FLAIR MR.
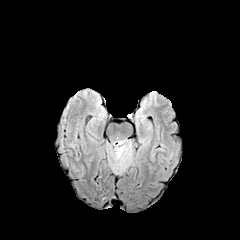
T1-weighted MR image.
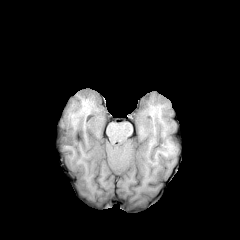
Post-contrast T1-weighted MR image.
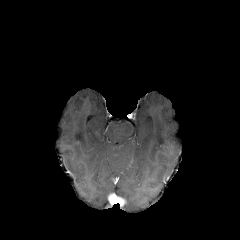
T2-weighted MR image.
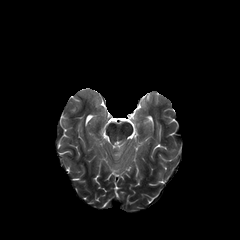
Brain
peritumoral_edema:
  - 113 140 132 171